FLAIR MR image.
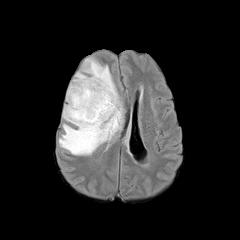
T1-weighted MR image.
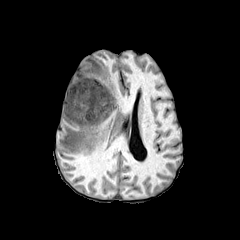
Post-contrast T1-weighted MR.
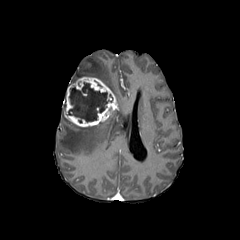
T2-weighted magnetic resonance.
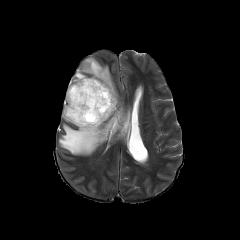
Brain
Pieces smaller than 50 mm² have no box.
necrotic tumor core: bbox=[68, 82, 112, 122]
enhancing tumor: bbox=[64, 76, 118, 127]
peritumoral edema: bbox=[58, 57, 123, 155]